FLAIR magnetic resonance.
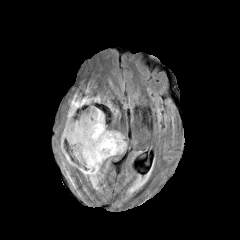
T1-weighted MRI.
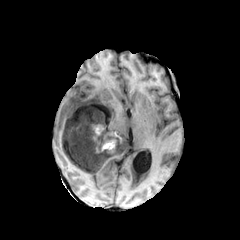
Post-contrast T1-weighted MR.
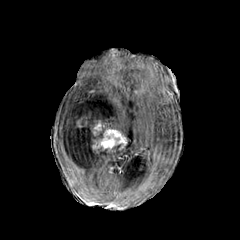
T2-weighted magnetic resonance.
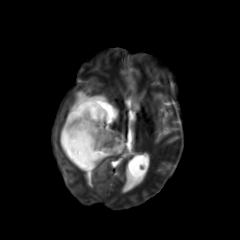
240x240 px, Axial slice
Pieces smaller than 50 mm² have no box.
The 3 largest peritumoral edema regions are located at [61, 130, 74, 150], [65, 145, 125, 189], [64, 93, 118, 129]. The largest necrotic tumor core region is located at [63, 119, 102, 168]. The 2 largest enhancing tumor regions appear at [92, 128, 126, 153], [92, 120, 104, 135].